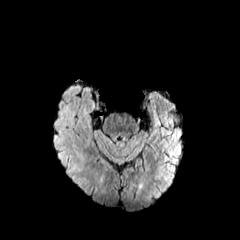
FLAIR MR image.
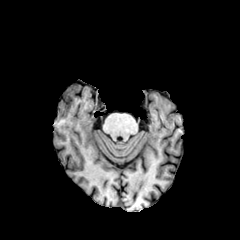
T1-weighted magnetic resonance of the same slice.
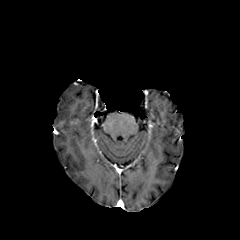
Post-contrast T1-weighted MR.
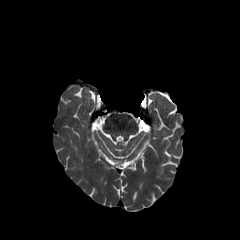
T2-weighted MR.
Brain; 240x240
peritumoral edema = l=70, t=176, r=81, b=186; l=55, t=141, r=75, b=172